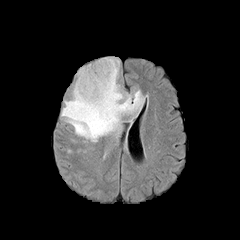
FLAIR MR image.
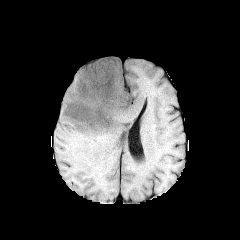
T1-weighted MR image of the same slice.
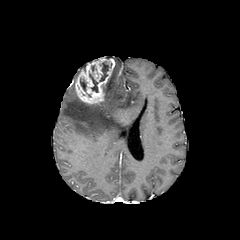
Same slice, post-contrast T1-weighted MR image.
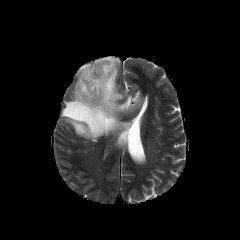
T2-weighted MRI.
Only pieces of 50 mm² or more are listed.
enhancing tumor — <bbox>75, 57, 115, 104</bbox>
peritumoral edema — <bbox>61, 57, 144, 142</bbox>
necrotic tumor core — <bbox>80, 79, 86, 91</bbox>, <bbox>99, 62, 111, 81</bbox>, <bbox>89, 74, 98, 92</bbox>